240x240 px. Head. Image covers 240 mm x 240 mm.
FLAIR MRI.
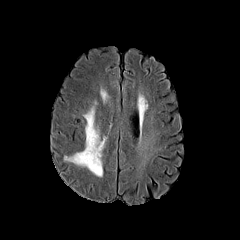
T1-weighted magnetic resonance.
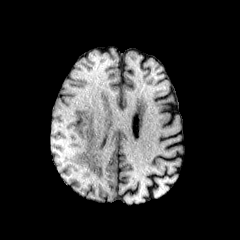
Post-contrast T1-weighted MR.
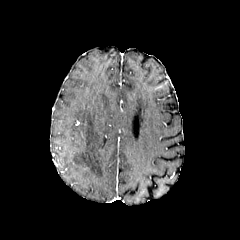
T2-weighted magnetic resonance.
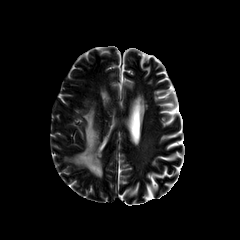
peritumoral_edema:
  - (65, 107, 103, 176)